Image size 240x240. Brain. Image covers 240 mm x 240 mm. Axial plane.
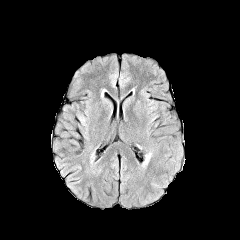
FLAIR MR.
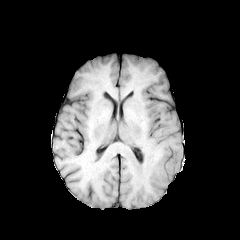
T1-weighted MRI.
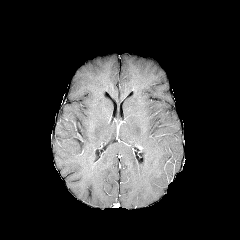
Post-contrast T1-weighted MR.
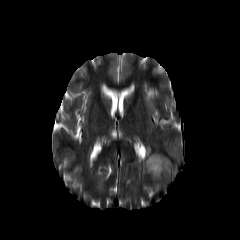
Same slice, T2-weighted MR.
peritumoral edema: (142,151,152,168)